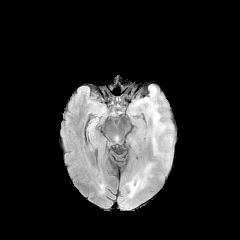
FLAIR MRI.
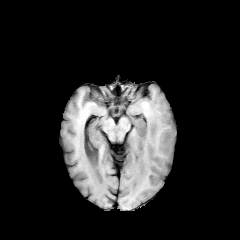
T1-weighted MRI of the same slice.
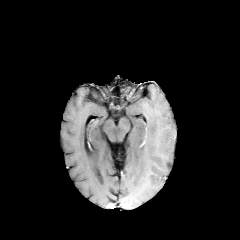
Post-contrast T1-weighted MR.
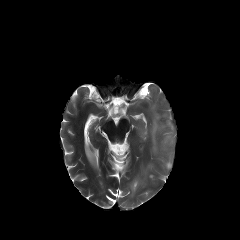
Same slice, T2-weighted magnetic resonance.
Axial view
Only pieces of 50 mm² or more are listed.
The 2 largest peritumoral edema regions appear at <box>152,113,165,153</box>, <box>130,180,142,192</box>.